FLAIR magnetic resonance.
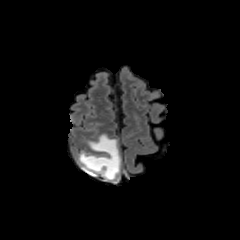
T1-weighted MR.
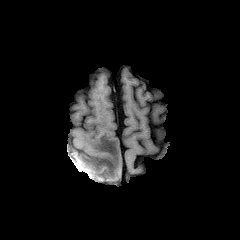
Post-contrast T1-weighted MRI.
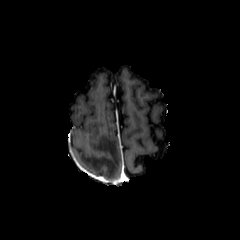
T2-weighted MR image.
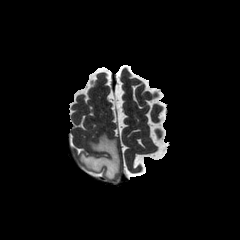
Axial slice, Brain, Image size 240x240
Findings:
• peritumoral edema: rect(78, 134, 120, 180)